Image size 240x240; Image width 240 mm; Axial plane; Slice 37/155
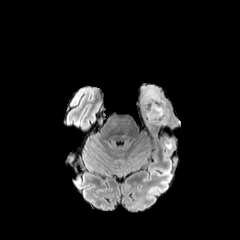
FLAIR MRI.
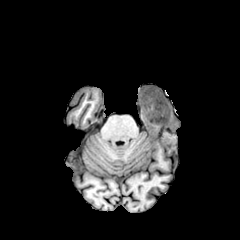
T1-weighted MR image.
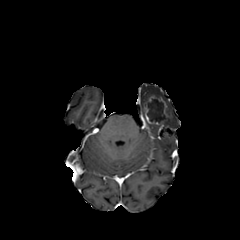
Post-contrast T1-weighted MR of the same slice.
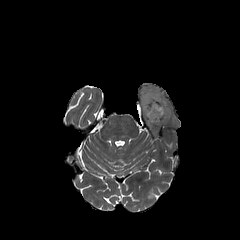
T2-weighted MR.
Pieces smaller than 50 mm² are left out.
The enhancing tumor is at box=[142, 94, 169, 125]. The necrotic tumor core is bounded by box=[147, 99, 164, 122]. The 2 largest peritumoral edema regions are bounded by box=[167, 105, 174, 123]; box=[140, 86, 162, 116].